FLAIR MRI.
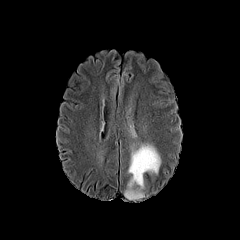
T1-weighted MR image.
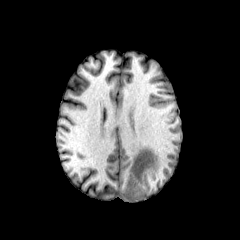
Post-contrast T1-weighted magnetic resonance.
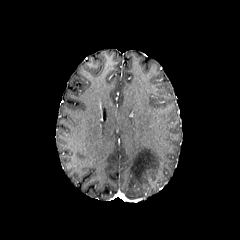
T2-weighted magnetic resonance.
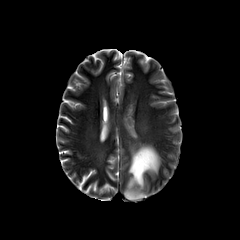
Axial view. Head.
• peritumoral edema: l=124, t=143, r=161, b=200; l=130, t=124, r=136, b=137